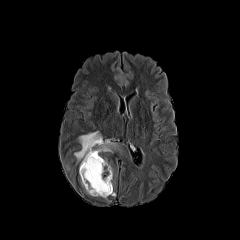
FLAIR MR image.
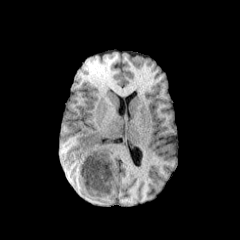
T1-weighted MR of the same slice.
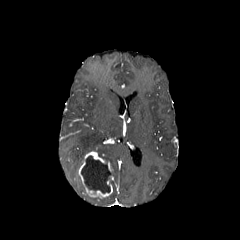
Post-contrast T1-weighted MR.
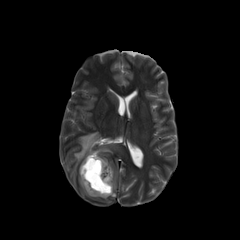
Same slice, T2-weighted MR image.
Head. Axial slice.
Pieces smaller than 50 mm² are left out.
<segmentation>
  <peritumoral_edema>(74,131,116,162)</peritumoral_edema>
  <necrotic_tumor_core>(81,156,111,193)</necrotic_tumor_core>
  <enhancing_tumor>(78,151,113,197)</enhancing_tumor>
</segmentation>